FLAIR MR.
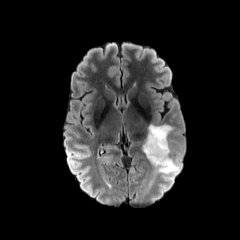
T1-weighted MR.
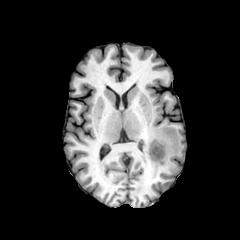
Post-contrast T1-weighted MRI.
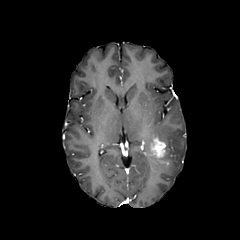
T2-weighted MRI.
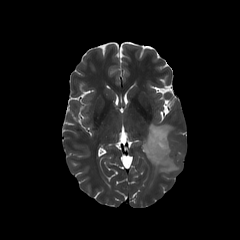
Head; Axial slice
The peritumoral edema is at l=143, t=124, r=180, b=179. The enhancing tumor is bounded by l=149, t=138, r=168, b=164.